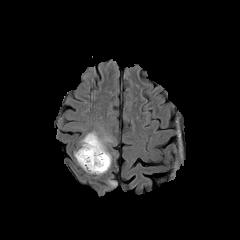
FLAIR MR.
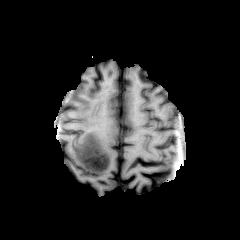
T1-weighted MRI.
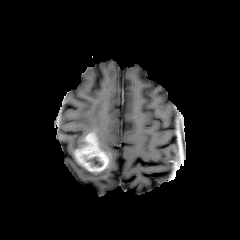
Post-contrast T1-weighted MR.
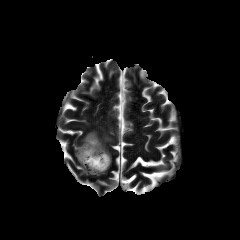
T2-weighted MR image.
Head; Axial view
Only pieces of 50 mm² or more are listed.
enhancing tumor: l=74, t=132, r=109, b=172 | necrotic tumor core: l=87, t=157, r=102, b=166 | peritumoral edema: l=80, t=131, r=112, b=175